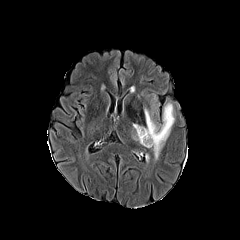
FLAIR magnetic resonance.
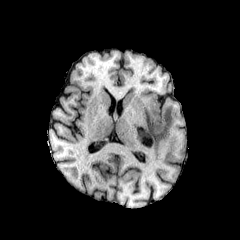
T1-weighted MR image of the same slice.
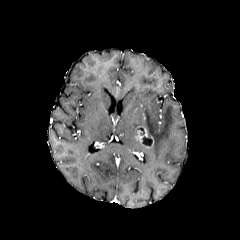
Post-contrast T1-weighted MR image of the same slice.
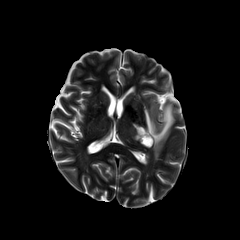
T2-weighted MR.
240x240; Head; Axial view
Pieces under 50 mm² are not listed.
peritumoral edema: [x1=144, y1=96, x2=174, y2=159] | necrotic tumor core: [x1=142, y1=137, x2=151, y2=145] | enhancing tumor: [x1=136, y1=127, x2=153, y2=147]